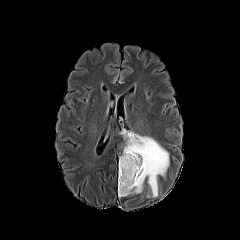
FLAIR magnetic resonance.
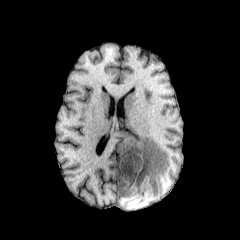
T1-weighted MR image of the same slice.
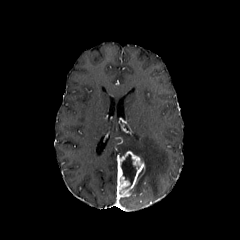
Post-contrast T1-weighted MR of the same slice.
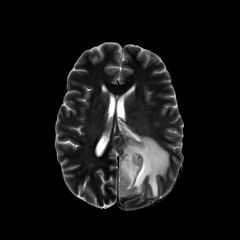
T2-weighted magnetic resonance.
240x240 px
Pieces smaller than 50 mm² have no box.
Annotated regions:
• peritumoral edema: <bbox>121, 132, 169, 196</bbox>
• necrotic tumor core: <bbox>121, 154, 136, 186</bbox>
• enhancing tumor: <bbox>117, 151, 145, 197</bbox>